FLAIR magnetic resonance.
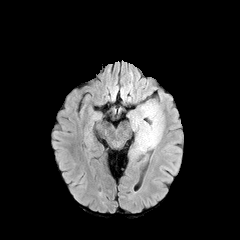
T1-weighted magnetic resonance.
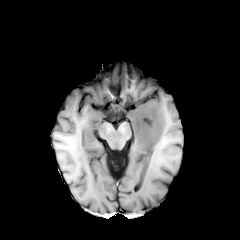
Post-contrast T1-weighted magnetic resonance.
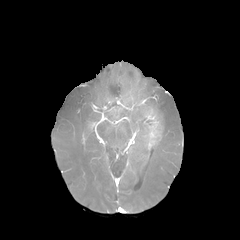
T2-weighted magnetic resonance.
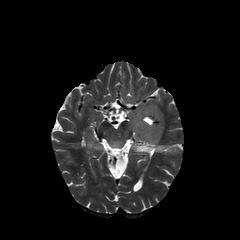
Image size 240x240 | Axial slice
enhancing_tumor:
  - {"x1": 135, "y1": 106, "x2": 163, "y2": 148}
peritumoral_edema:
  - {"x1": 132, "y1": 132, "x2": 159, "y2": 154}
  - {"x1": 128, "y1": 101, "x2": 164, "y2": 131}